240x240. Head. Axial view. Image width 240 mm.
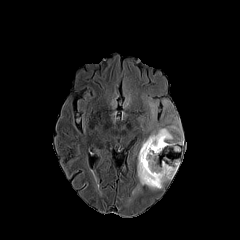
FLAIR magnetic resonance.
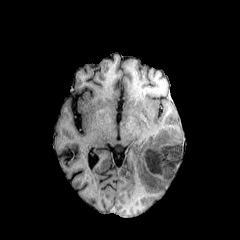
Same slice, T1-weighted MR image.
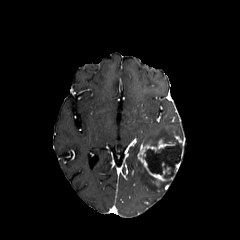
Post-contrast T1-weighted MRI.
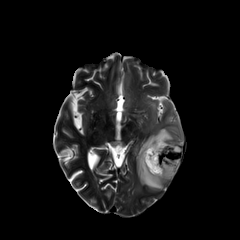
T2-weighted MR image of the same slice.
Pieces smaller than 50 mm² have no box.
The 3 largest peritumoral edema regions appear at rect(149, 102, 156, 117); rect(143, 119, 181, 145); rect(137, 160, 163, 189). The largest necrotic tumor core region lies within rect(143, 143, 181, 178). The largest enhancing tumor region is at rect(138, 139, 176, 185).